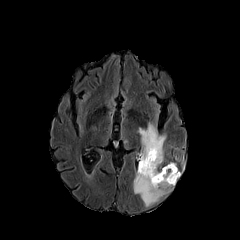
FLAIR magnetic resonance.
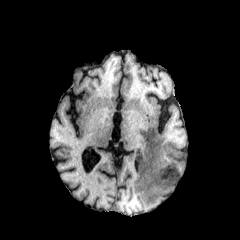
Same slice, T1-weighted MRI.
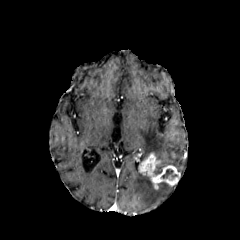
Post-contrast T1-weighted MR image of the same slice.
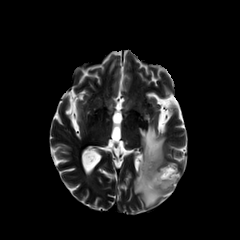
T2-weighted MR image.
Axial view
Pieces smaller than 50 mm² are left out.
peritumoral_edema:
  - rect(139, 123, 165, 164)
  - rect(133, 167, 173, 206)
enhancing_tumor:
  - rect(139, 152, 180, 189)
necrotic_tumor_core:
  - rect(161, 169, 177, 180)
  - rect(154, 165, 162, 174)